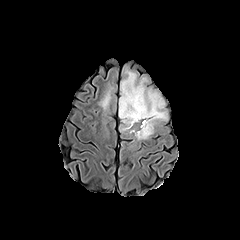
FLAIR magnetic resonance.
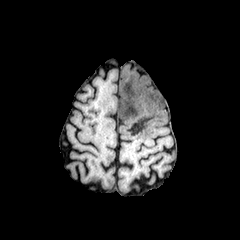
T1-weighted MRI.
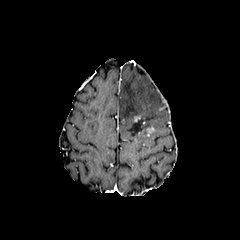
Same slice, post-contrast T1-weighted MRI.
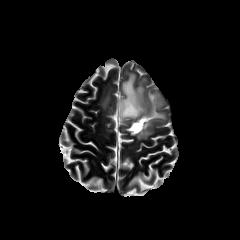
Same slice, T2-weighted MR image.
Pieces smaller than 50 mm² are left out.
The largest enhancing tumor region is located at rect(146, 126, 154, 136). The 2 largest peritumoral edema regions are bounded by rect(119, 70, 167, 133); rect(100, 91, 110, 109). 2 necrotic tumor core regions are located at rect(122, 87, 141, 115); rect(130, 117, 147, 135).